FLAIR MR.
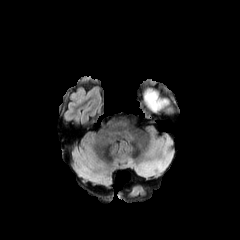
T1-weighted magnetic resonance.
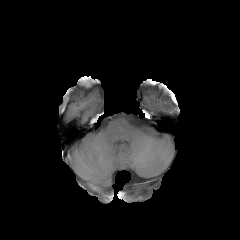
Post-contrast T1-weighted MR image.
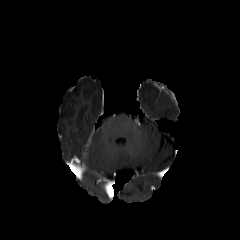
T2-weighted MR image.
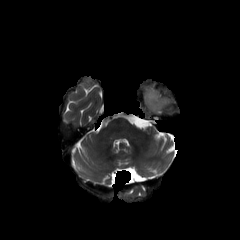
Axial view
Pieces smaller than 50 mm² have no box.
• peritumoral edema: region(144, 86, 174, 114)